Image covers 240 mm x 240 mm. Axial plane. Brain.
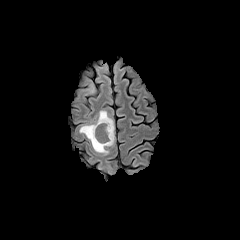
FLAIR MRI.
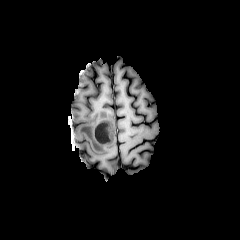
Same slice, T1-weighted MRI.
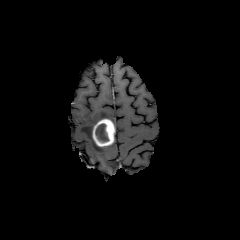
Post-contrast T1-weighted magnetic resonance of the same slice.
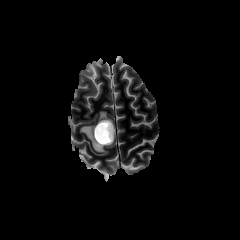
T2-weighted MRI.
The necrotic tumor core appears at region(96, 124, 108, 141). 2 peritumoral edema regions are located at region(79, 110, 115, 155); region(84, 78, 95, 94). The enhancing tumor is located at region(92, 119, 114, 146).